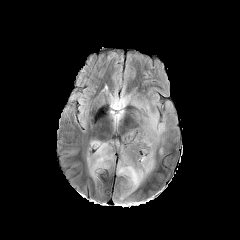
FLAIR MR image.
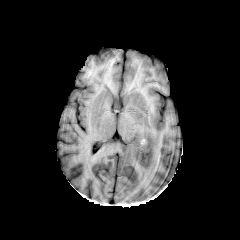
T1-weighted magnetic resonance of the same slice.
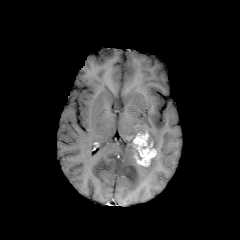
Post-contrast T1-weighted MR.
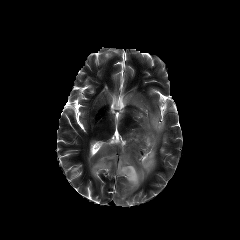
T2-weighted MR.
Image size 240x240
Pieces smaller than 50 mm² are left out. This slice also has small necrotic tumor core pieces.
Segmented structures:
• peritumoral edema: x1=114 y1=99 x2=121 y2=109, x1=87 y1=140 x2=114 y2=175, x1=123 y1=95 x2=165 y2=149, x1=115 y1=141 x2=155 y2=193
• enhancing tumor: x1=129 y1=132 x2=156 y2=166